FLAIR MR.
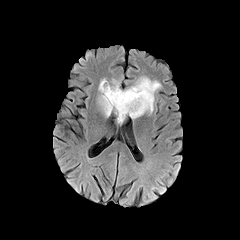
T1-weighted magnetic resonance.
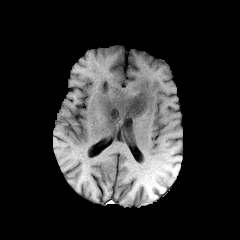
Post-contrast T1-weighted MRI.
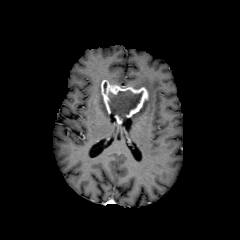
T2-weighted MRI.
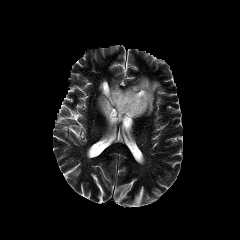
Brain
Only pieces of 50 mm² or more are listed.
necrotic_tumor_core:
  - region(109, 90, 142, 120)
peritumoral_edema:
  - region(98, 80, 110, 117)
  - region(129, 76, 161, 118)
enhancing_tumor:
  - region(101, 80, 148, 124)